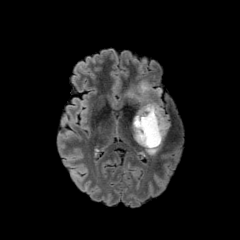
FLAIR MR image.
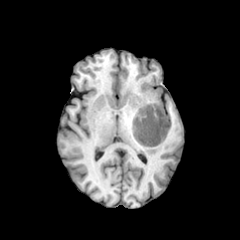
T1-weighted magnetic resonance of the same slice.
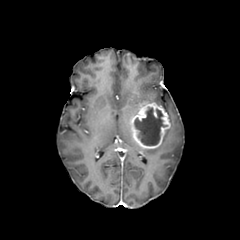
Post-contrast T1-weighted MRI of the same slice.
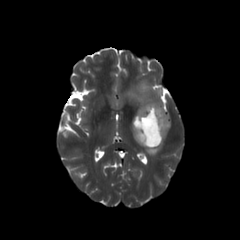
Same slice, T2-weighted MR image.
Head; 240x240
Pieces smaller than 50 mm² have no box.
{
  "peritumoral_edema": [
    "bbox(144, 141, 162, 155)",
    "bbox(126, 81, 162, 106)"
  ],
  "enhancing_tumor": [
    "bbox(131, 103, 170, 148)"
  ],
  "necrotic_tumor_core": [
    "bbox(134, 107, 166, 145)"
  ]
}